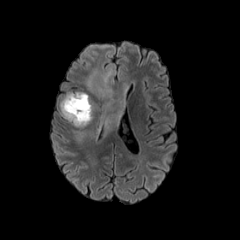
FLAIR MRI.
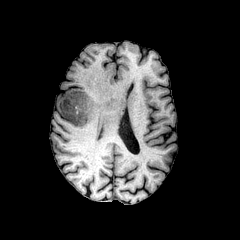
T1-weighted MR image.
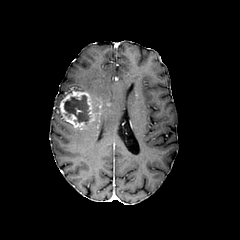
Post-contrast T1-weighted MR.
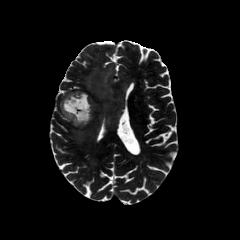
T2-weighted MRI of the same slice.
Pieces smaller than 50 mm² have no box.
2 peritumoral edema regions are located at bbox(84, 52, 127, 128); bbox(74, 130, 86, 140). The largest necrotic tumor core region is located at bbox(64, 95, 89, 122). The largest enhancing tumor region lies within bbox(59, 91, 97, 129).